Image size 240x240 | Axial slice | Image width 240 mm, 1.00 mm slice spacing
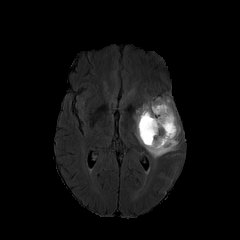
FLAIR MRI.
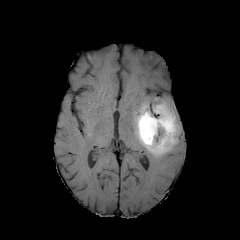
T1-weighted MRI of the same slice.
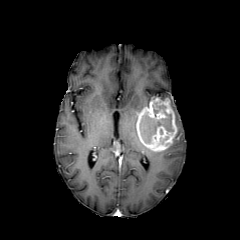
Post-contrast T1-weighted magnetic resonance.
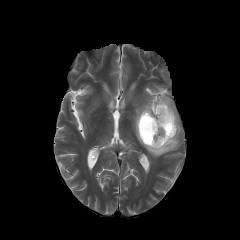
T2-weighted magnetic resonance of the same slice.
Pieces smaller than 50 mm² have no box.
necrotic tumor core: (154, 105, 165, 116), (140, 114, 173, 143) | peritumoral edema: (133, 95, 180, 158) | enhancing tumor: (136, 97, 177, 151)